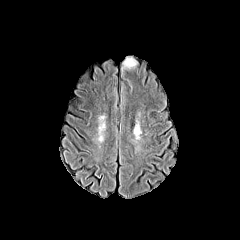
FLAIR magnetic resonance.
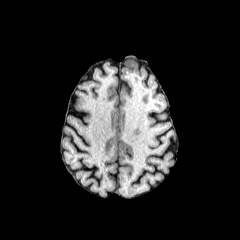
Same slice, T1-weighted MR.
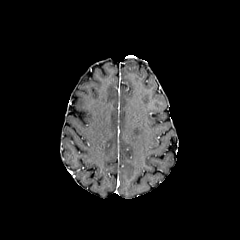
Same slice, post-contrast T1-weighted MR.
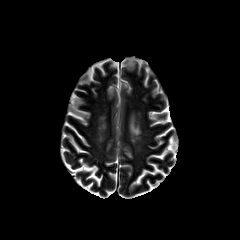
T2-weighted MR image.
Axial plane; Head; 240x240
The peritumoral edema is located at [122,57,136,70].